Axial plane. Slice 85/155. Head. Image width 240 mm.
FLAIR MRI.
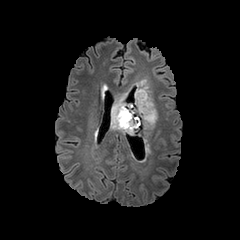
T1-weighted magnetic resonance.
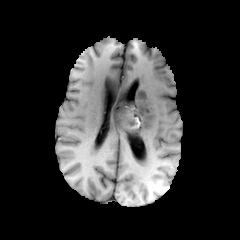
Post-contrast T1-weighted MR.
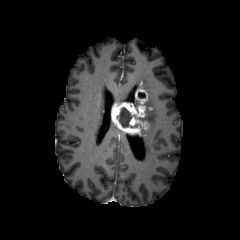
T2-weighted MR image.
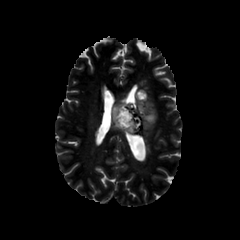
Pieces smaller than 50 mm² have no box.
<segmentation>
  <peritumoral_edema>bbox(136, 80, 156, 134)</peritumoral_edema>
  <enhancing_tumor>bbox(111, 89, 148, 136)</enhancing_tumor>
  <necrotic_tumor_core>bbox(138, 91, 145, 99); bbox(120, 108, 131, 127)</necrotic_tumor_core>
</segmentation>